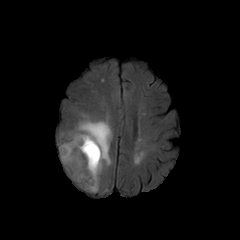
FLAIR MR image.
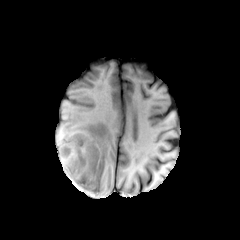
T1-weighted MRI.
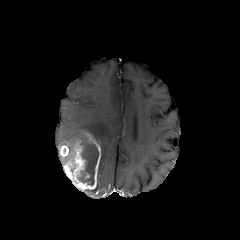
Post-contrast T1-weighted MR of the same slice.
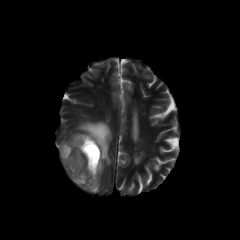
T2-weighted MRI.
Axial view
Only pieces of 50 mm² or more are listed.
2 enhancing tumor regions are located at {"x1": 63, "y1": 132, "x2": 101, "y2": 190}, {"x1": 60, "y1": 145, "x2": 69, "y2": 156}. The largest necrotic tumor core region appears at {"x1": 82, "y1": 143, "x2": 98, "y2": 184}. The peritumoral edema is located at {"x1": 58, "y1": 115, "x2": 112, "y2": 192}.